Image covers 240 mm x 240 mm | Brain
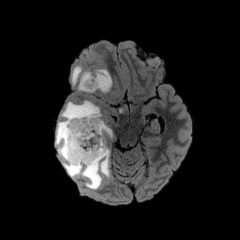
FLAIR magnetic resonance.
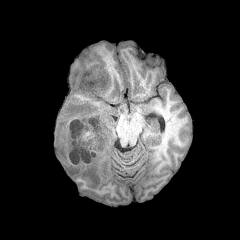
Same slice, T1-weighted magnetic resonance.
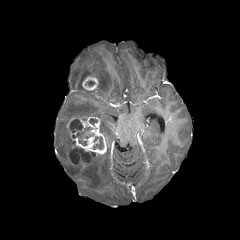
Post-contrast T1-weighted MR.
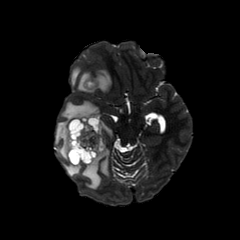
T2-weighted MR image of the same slice.
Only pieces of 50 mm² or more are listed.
<segmentation>
  <necrotic_tumor_core>bbox(93, 136, 103, 149); bbox(69, 146, 95, 163); bbox(70, 119, 93, 145)</necrotic_tumor_core>
  <peritumoral_edema>bbox(71, 66, 81, 85); bbox(55, 100, 109, 189); bbox(93, 69, 111, 92); bbox(78, 72, 95, 92); bbox(100, 120, 112, 137)</peritumoral_edema>
  <enhancing_tumor>bbox(67, 116, 106, 165); bbox(82, 76, 98, 90)</enhancing_tumor>
</segmentation>